Slice index 84, Image size 240x240, Image width 240 mm
FLAIR MR.
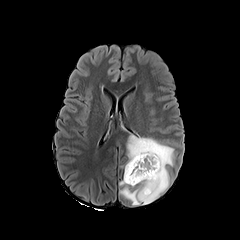
T1-weighted MR image.
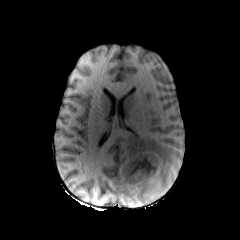
Post-contrast T1-weighted MR.
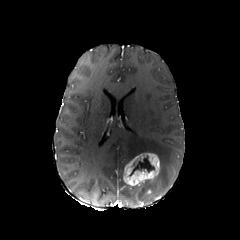
T2-weighted MR.
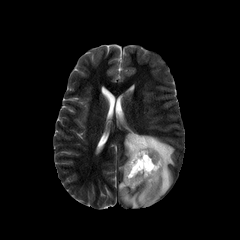
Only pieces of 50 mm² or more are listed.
necrotic_tumor_core:
  - {"x1": 129, "y1": 155, "x2": 154, "y2": 176}
peritumoral_edema:
  - {"x1": 119, "y1": 134, "x2": 174, "y2": 205}
enhancing_tumor:
  - {"x1": 123, "y1": 153, "x2": 159, "y2": 186}